FLAIR MR.
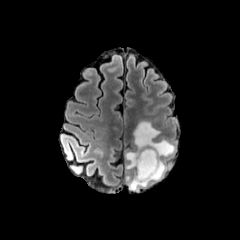
T1-weighted MR.
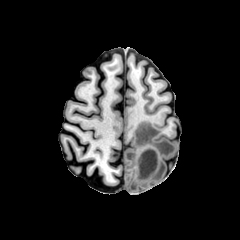
Post-contrast T1-weighted MR.
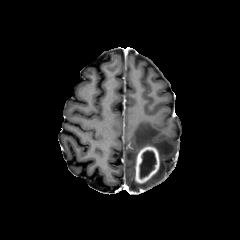
T2-weighted MR.
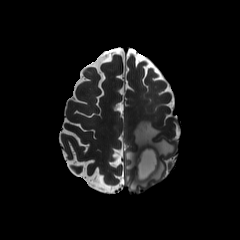
240x240; Head
peritumoral edema = <box>125,121,175,191</box>
enhancing tumor = <box>135,146,160,184</box>
necrotic tumor core = <box>139,150,156,178</box>